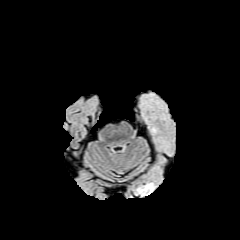
FLAIR MRI.
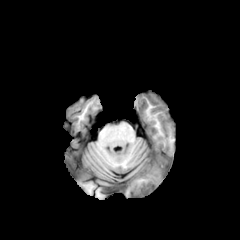
T1-weighted MRI.
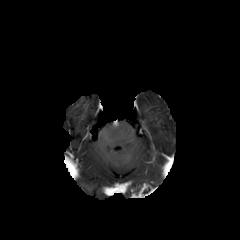
Same slice, post-contrast T1-weighted MR.
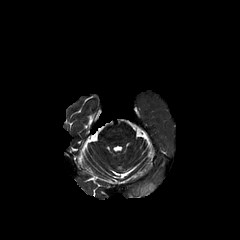
T2-weighted magnetic resonance.
Axial plane; 240x240
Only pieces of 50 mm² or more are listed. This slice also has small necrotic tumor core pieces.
The enhancing tumor lies within (left=130, top=183, right=156, bottom=197).